Slice 121/155 | Image covers 240 mm x 240 mm | Brain
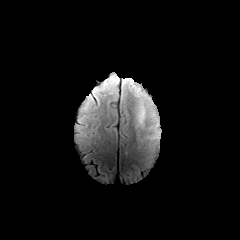
FLAIR MRI.
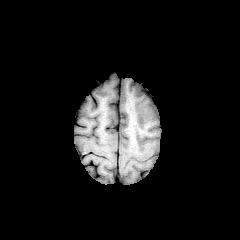
Same slice, T1-weighted MRI.
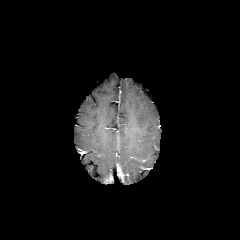
Post-contrast T1-weighted MR image.
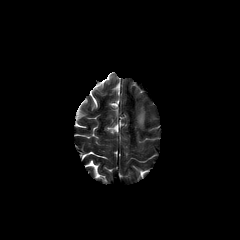
T2-weighted MR.
peritumoral edema at box=[138, 107, 144, 124]